Brain | Axial view | Image width 240 mm | Slice 122/155
FLAIR magnetic resonance.
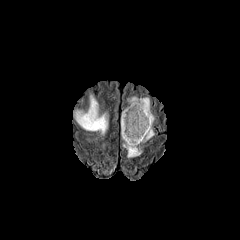
T1-weighted MRI.
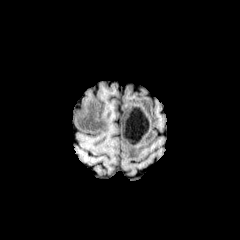
Post-contrast T1-weighted MRI.
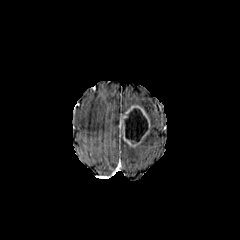
T2-weighted magnetic resonance.
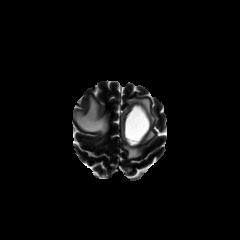
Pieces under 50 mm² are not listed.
necrotic tumor core — box(124, 108, 147, 142)
peritumoral edema — box(122, 97, 154, 142); box(123, 143, 141, 158); box(75, 96, 107, 134)
enhancing tumor — box(121, 105, 150, 147)